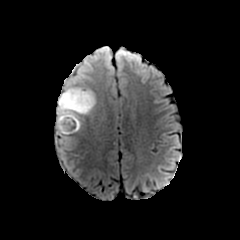
FLAIR magnetic resonance.
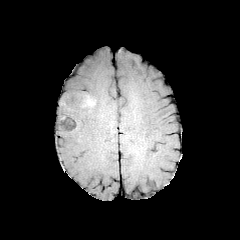
T1-weighted magnetic resonance of the same slice.
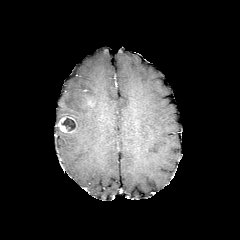
Post-contrast T1-weighted MR.
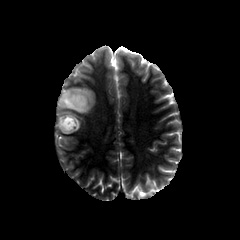
Same slice, T2-weighted MR image.
Head.
• necrotic tumor core: x1=62 y1=118 x2=75 y2=131
• peritumoral edema: x1=56 y1=126 x2=69 y2=138, x1=56 y1=84 x2=96 y2=132
• enhancing tumor: x1=56 y1=116 x2=76 y2=133